FLAIR MRI.
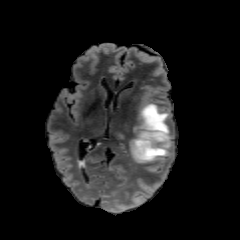
T1-weighted MR image.
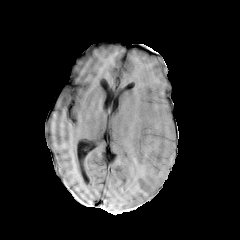
Post-contrast T1-weighted MR.
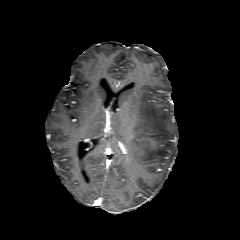
T2-weighted MRI.
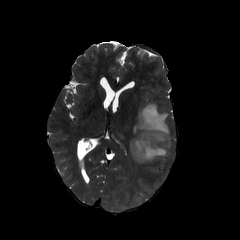
Head. 240x240 px.
enhancing tumor: bounding box 135:137:156:156
peritumoral edema: bounding box 131:103:171:162